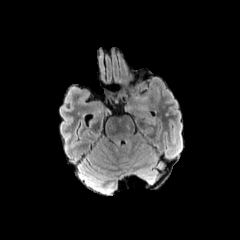
FLAIR MRI.
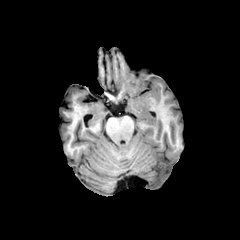
T1-weighted MR image of the same slice.
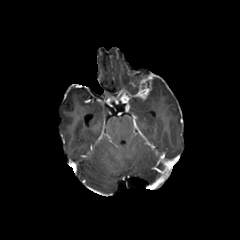
Same slice, post-contrast T1-weighted MRI.
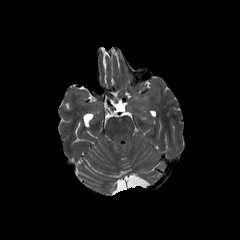
T2-weighted MRI.
Head
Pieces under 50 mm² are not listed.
Annotated regions:
* enhancing tumor: 118:89:133:103, 137:80:151:99
* peritumoral edema: 133:83:158:101